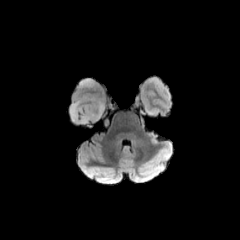
FLAIR MRI.
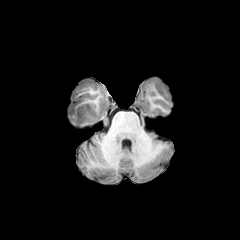
T1-weighted MRI.
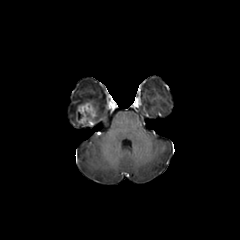
Post-contrast T1-weighted MR image.
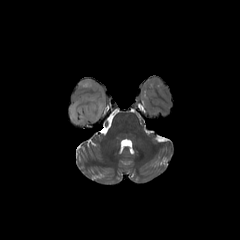
T2-weighted MRI of the same slice.
Head, 240x240 px
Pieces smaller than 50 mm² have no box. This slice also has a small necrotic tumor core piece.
<segmentation>
  <peritumoral_edema>x1=79, y1=79, x2=93, y2=88; x1=70, y1=96, x2=103, y2=123</peritumoral_edema>
  <enhancing_tumor>x1=76, y1=102, x2=96, y2=125</enhancing_tumor>
</segmentation>